Head, Axial plane
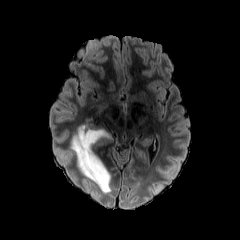
FLAIR MR image.
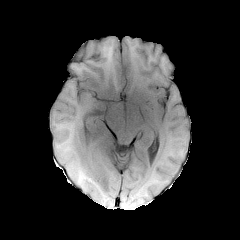
Same slice, T1-weighted MR.
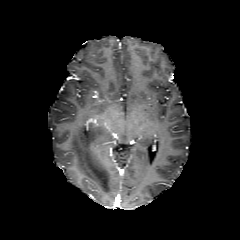
Post-contrast T1-weighted MRI.
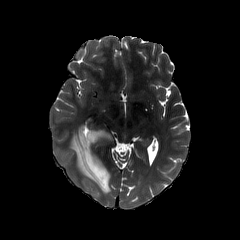
T2-weighted magnetic resonance of the same slice.
{"peritumoral_edema": ["bbox(70, 126, 111, 192)"]}